FLAIR MR image.
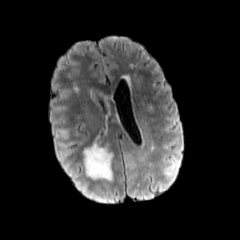
T1-weighted magnetic resonance.
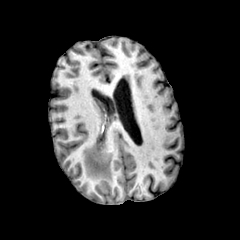
Post-contrast T1-weighted MRI.
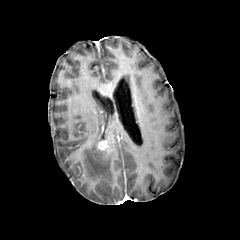
T2-weighted MR.
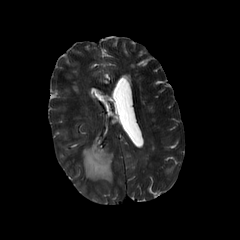
Image size 240x240. Axial slice.
{"enhancing_tumor": ["(97,141,107,150)"], "peritumoral_edema": ["(83,143,112,181)"]}